FLAIR MR.
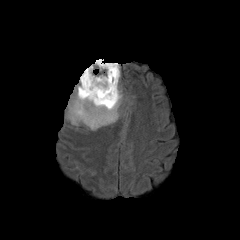
T1-weighted MRI.
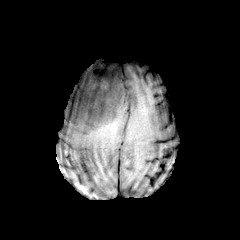
Post-contrast T1-weighted MR.
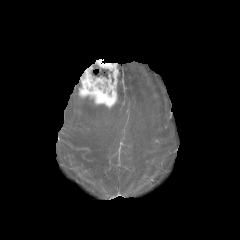
T2-weighted MR.
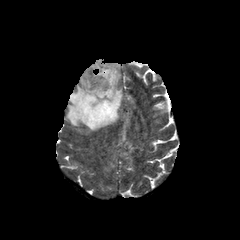
Axial view | Head | 240x240
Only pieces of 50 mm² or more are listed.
peritumoral edema: x1=66, y1=64, x2=122, y2=130 | necrotic tumor core: x1=92, y1=64, x2=108, y2=78 | enhancing tumor: x1=78, y1=59, x2=118, y2=107